Head | Axial slice | 240x240 px
FLAIR MRI.
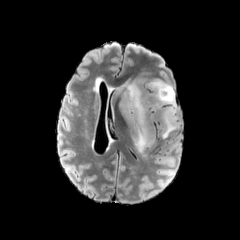
T1-weighted MR image.
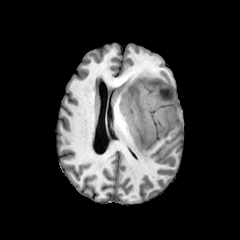
Post-contrast T1-weighted MRI.
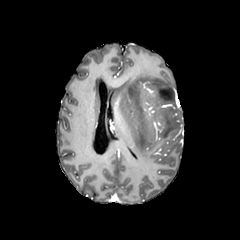
T2-weighted magnetic resonance.
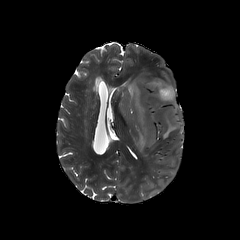
The peritumoral edema lies within rect(115, 75, 178, 153).